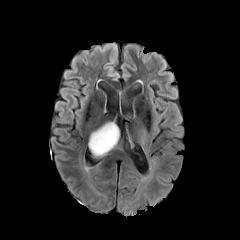
FLAIR magnetic resonance.
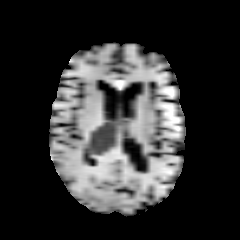
Same slice, T1-weighted MR.
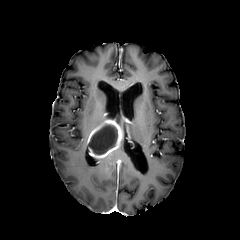
Post-contrast T1-weighted MR image.
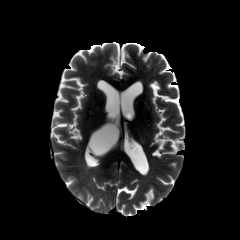
T2-weighted MR image.
enhancing tumor: box=[87, 119, 121, 159] | necrotic tumor core: box=[89, 125, 117, 154]